Image width 240 mm | Head | Axial plane | Slice 98/155
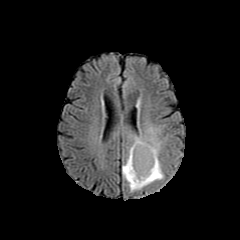
FLAIR MR image.
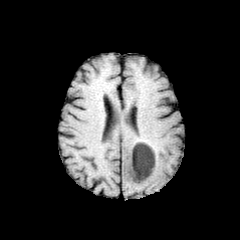
T1-weighted MRI of the same slice.
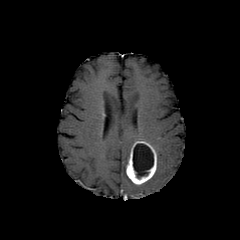
Same slice, post-contrast T1-weighted MR.
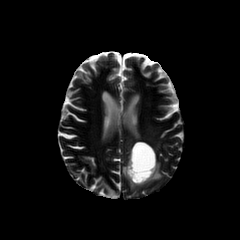
Same slice, T2-weighted MR.
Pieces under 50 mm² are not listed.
Segmented structures:
- necrotic tumor core: [133, 143, 153, 178]
- enhancing tumor: [126, 141, 156, 184]
- peritumoral edema: [122, 127, 163, 192]